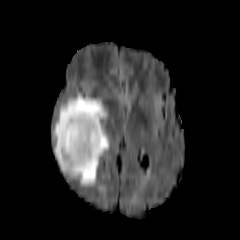
FLAIR magnetic resonance.
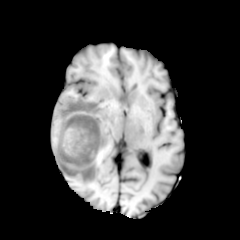
T1-weighted MR.
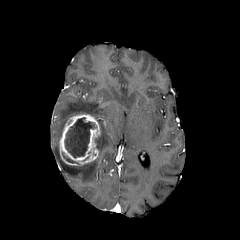
Post-contrast T1-weighted magnetic resonance.
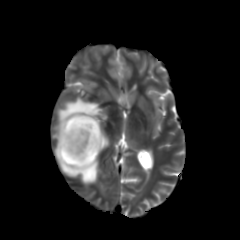
Same slice, T2-weighted MR image.
Axial view | Image size 240x240
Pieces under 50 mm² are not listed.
peritumoral edema = (x1=54, y1=92, x2=109, y2=186)
necrotic tumor core = (x1=62, y1=152, x2=78, y2=163), (x1=64, y1=117, x2=95, y2=157), (x1=95, y1=137, x2=100, y2=148)
enhancing tumor = (x1=59, y1=112, x2=100, y2=165)